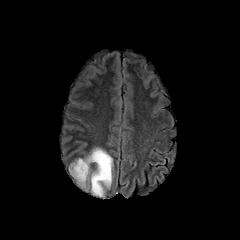
FLAIR MR image.
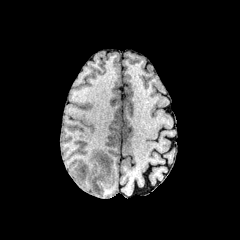
T1-weighted MR.
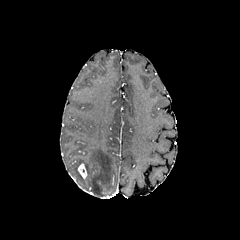
Post-contrast T1-weighted MRI.
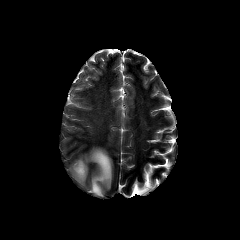
T2-weighted MR image of the same slice.
Head, Axial view, 240x240 px
Segmented structures:
• enhancing tumor: bbox(77, 163, 87, 179)
• peritumoral edema: bbox(69, 147, 112, 196)